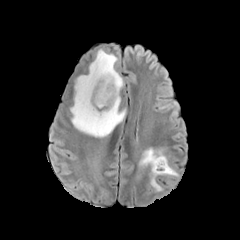
FLAIR MR image.
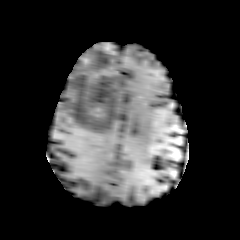
Same slice, T1-weighted MR image.
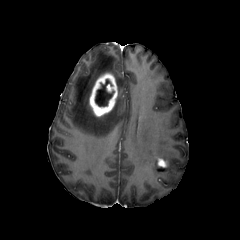
Post-contrast T1-weighted MR image.
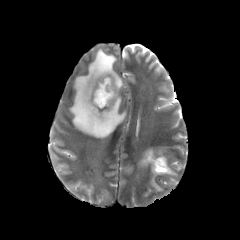
T2-weighted MRI of the same slice.
240x240 px. Brain.
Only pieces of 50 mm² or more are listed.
necrotic tumor core — rect(95, 80, 113, 106)
peritumoral edema — rect(71, 49, 125, 137); rect(139, 148, 178, 190)
enhancing tumor — rect(157, 157, 167, 167); rect(89, 73, 117, 116)